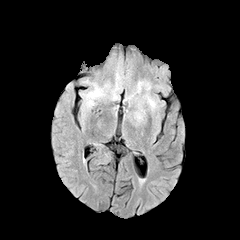
FLAIR magnetic resonance.
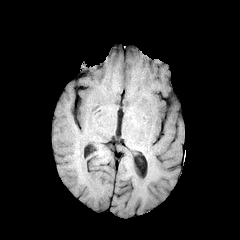
T1-weighted MR of the same slice.
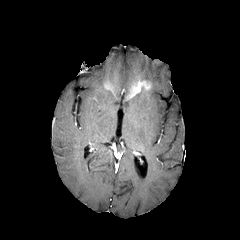
Post-contrast T1-weighted MR image.
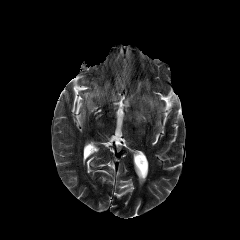
Same slice, T2-weighted MRI.
Axial slice
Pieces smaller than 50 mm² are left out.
enhancing tumor: l=128, t=80, r=151, b=97; l=104, t=82, r=112, b=91 | peritumoral edema: l=135, t=107, r=144, b=120; l=143, t=94, r=157, b=110; l=111, t=82, r=118, b=99; l=84, t=84, r=108, b=106